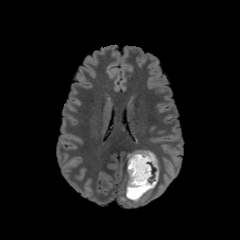
FLAIR MR image.
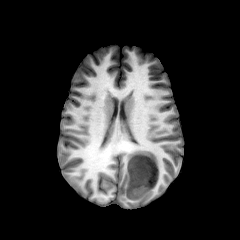
Same slice, T1-weighted MR.
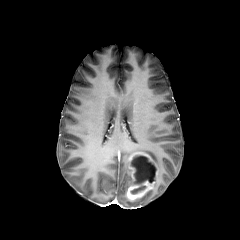
Post-contrast T1-weighted MRI.
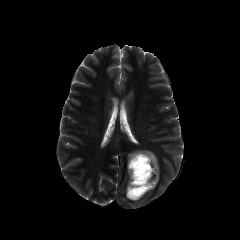
T2-weighted MR of the same slice.
240x240 px
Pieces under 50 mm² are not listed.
Segmented structures:
- peritumoral edema: (left=135, top=150, right=158, bottom=167)
- enhancing tumor: (left=126, top=152, right=158, bottom=200)
- necrotic tumor core: (left=131, top=186, right=145, bottom=194), (left=130, top=155, right=156, bottom=184)